Axial plane; Slice 81/155
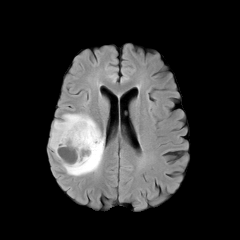
FLAIR MRI.
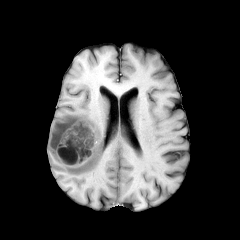
T1-weighted MR.
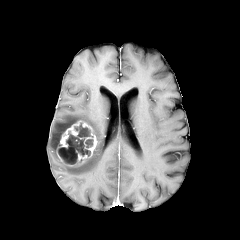
Post-contrast T1-weighted MRI.
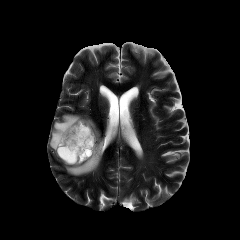
T2-weighted MRI.
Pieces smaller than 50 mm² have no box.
peritumoral edema at bbox=[49, 114, 104, 176]
enhancing tumor at bbox=[56, 120, 97, 166]
necrotic tumor core at bbox=[58, 124, 92, 164]; bbox=[85, 139, 92, 147]